FLAIR MR image.
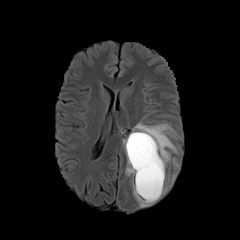
T1-weighted MRI.
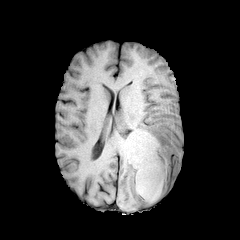
Post-contrast T1-weighted magnetic resonance.
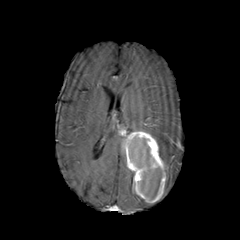
T2-weighted MR.
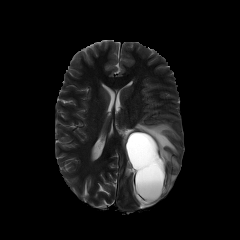
Brain; 240x240 px
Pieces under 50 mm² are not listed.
necrotic_tumor_core:
  - [127, 135, 161, 198]
enhancing_tumor:
  - [124, 131, 166, 203]
peritumoral_edema:
  - [125, 158, 152, 207]
  - [132, 122, 179, 193]